Image width 240 mm, 1.00 mm slice spacing
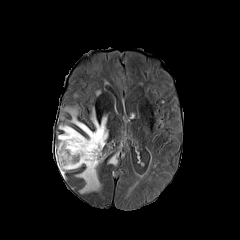
FLAIR MR image.
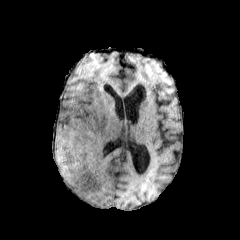
T1-weighted magnetic resonance of the same slice.
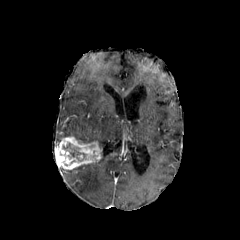
Post-contrast T1-weighted MRI.
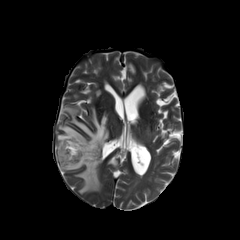
T2-weighted MR of the same slice.
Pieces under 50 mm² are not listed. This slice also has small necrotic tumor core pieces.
enhancing tumor: [55, 136, 101, 172] | peritumoral edema: [109, 156, 117, 164], [76, 159, 101, 193], [58, 108, 108, 148]